Axial view. Slice index 94.
FLAIR MR.
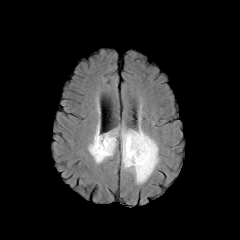
T1-weighted MR.
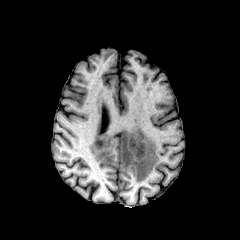
Post-contrast T1-weighted magnetic resonance.
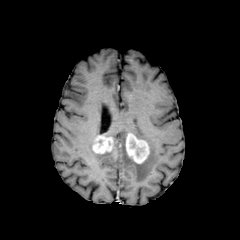
T2-weighted MR image.
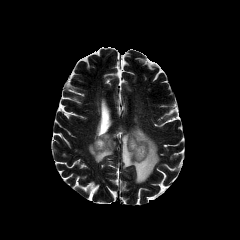
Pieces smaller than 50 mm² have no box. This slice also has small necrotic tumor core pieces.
<segmentation>
  <peritumoral_edema>[88,125,118,163], [120,126,159,183]</peritumoral_edema>
  <enhancing_tumor>[125,133,149,163], [92,134,113,154]</enhancing_tumor>
</segmentation>